FLAIR magnetic resonance.
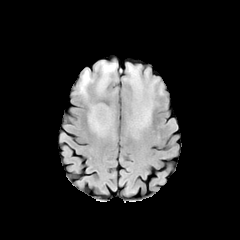
T1-weighted MR.
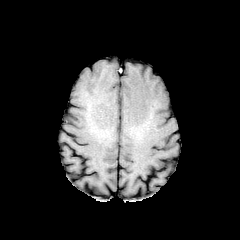
Post-contrast T1-weighted MRI.
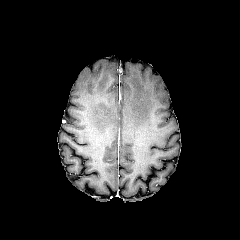
T2-weighted MR image.
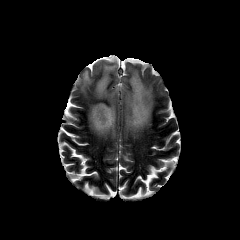
Brain, Axial plane
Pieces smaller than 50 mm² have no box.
<segmentation>
  <peritumoral_edema>78 69 94 96, 95 61 117 96, 89 103 114 134, 123 63 157 130</peritumoral_edema>
</segmentation>